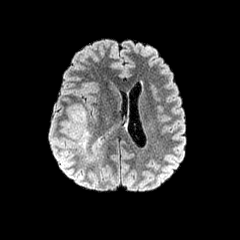
FLAIR MR.
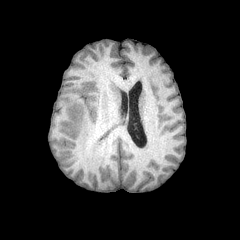
T1-weighted MR image.
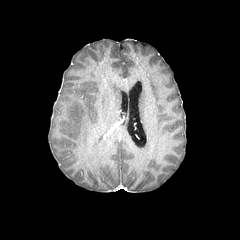
Post-contrast T1-weighted MR image of the same slice.
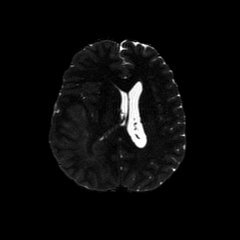
T2-weighted MR image of the same slice.
Axial plane, Head
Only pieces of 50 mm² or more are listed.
<segmentation>
  <peritumoral_edema>region(76, 109, 86, 124)</peritumoral_edema>
</segmentation>